Head.
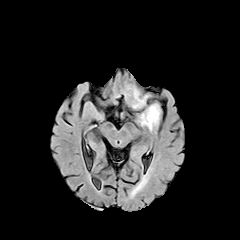
FLAIR magnetic resonance.
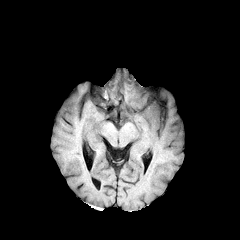
T1-weighted magnetic resonance of the same slice.
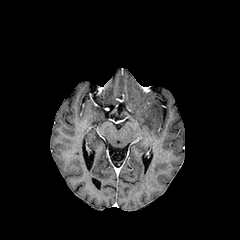
Post-contrast T1-weighted MRI of the same slice.
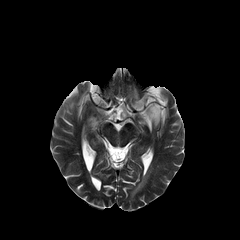
T2-weighted MR.
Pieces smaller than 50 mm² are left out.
Segmented structures:
- peritumoral edema: box=[141, 104, 160, 130]; box=[133, 99, 144, 107]